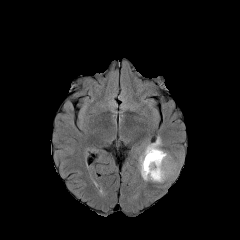
FLAIR MR.
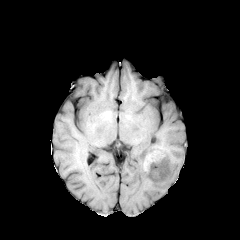
Same slice, T1-weighted magnetic resonance.
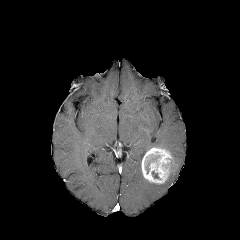
Same slice, post-contrast T1-weighted MR.
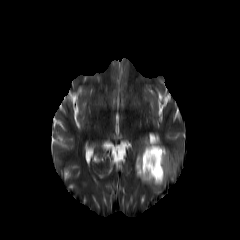
T2-weighted magnetic resonance of the same slice.
Brain | Axial slice
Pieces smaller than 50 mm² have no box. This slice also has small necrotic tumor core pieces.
enhancing_tumor:
  - [141,147,173,183]
peritumoral_edema:
  - [136,135,162,182]
  - [167,154,182,180]